Slice index 105.
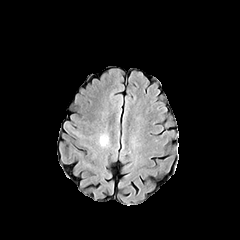
FLAIR MR image.
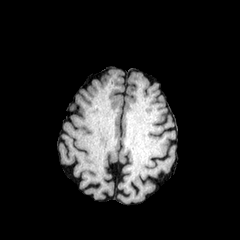
T1-weighted MR of the same slice.
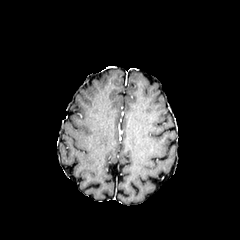
Post-contrast T1-weighted MR.
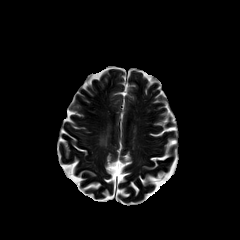
Same slice, T2-weighted MR.
* peritumoral edema: (99, 134, 108, 146)